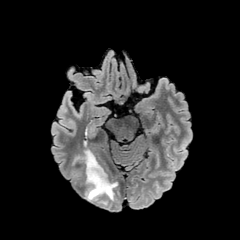
FLAIR magnetic resonance.
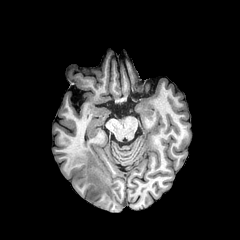
T1-weighted MRI.
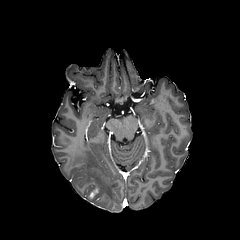
Post-contrast T1-weighted MR of the same slice.
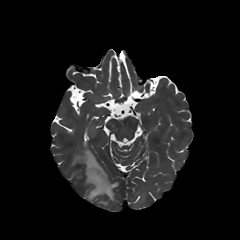
Same slice, T2-weighted magnetic resonance.
Axial plane. 240x240.
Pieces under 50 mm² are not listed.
The enhancing tumor is at (left=89, top=188, right=98, bottom=198). The largest peritumoral edema region is at (left=72, top=145, right=118, bottom=206).